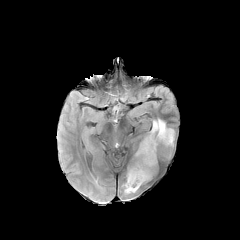
FLAIR magnetic resonance.
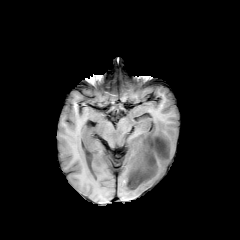
T1-weighted MR image.
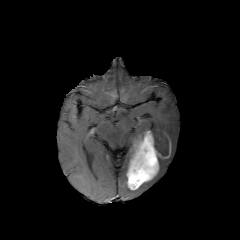
Post-contrast T1-weighted MR.
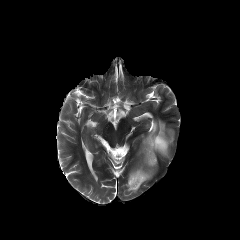
T2-weighted MRI.
Head, Axial slice, Image size 240x240
peritumoral edema: rect(153, 120, 173, 145); rect(125, 183, 136, 193) | enhancing tumor: rect(127, 129, 171, 189) | necrotic tumor core: rect(150, 130, 168, 156)